Slice 99/155 | Axial view
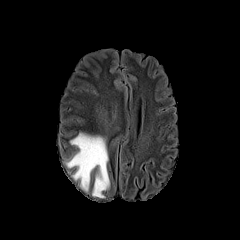
FLAIR MR.
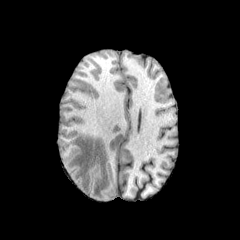
T1-weighted MR of the same slice.
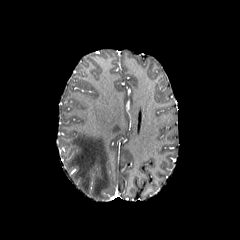
Post-contrast T1-weighted MRI of the same slice.
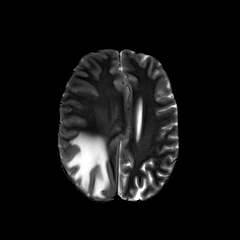
T2-weighted MR image.
Annotated regions:
* peritumoral edema: (67,133,109,197)